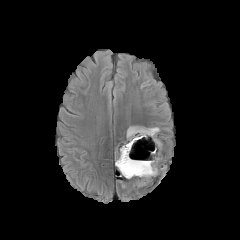
FLAIR MRI.
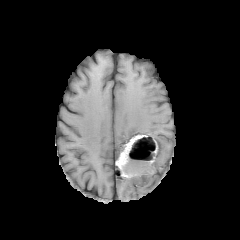
T1-weighted magnetic resonance.
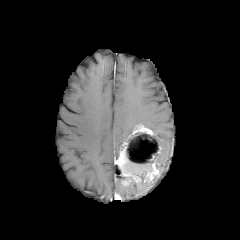
Post-contrast T1-weighted magnetic resonance of the same slice.
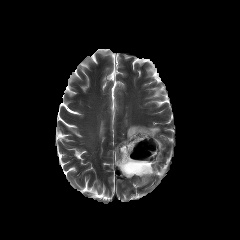
T2-weighted magnetic resonance of the same slice.
240x240 px
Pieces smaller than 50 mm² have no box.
The 2 largest peritumoral edema regions are located at [148,127,159,135], [126,126,135,137]. The necrotic tumor core is located at [125,133,159,183]. The 2 largest enhancing tumor regions appear at [127,125,154,139], [115,141,159,186].